FLAIR MR image.
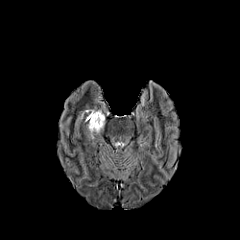
T1-weighted MR image.
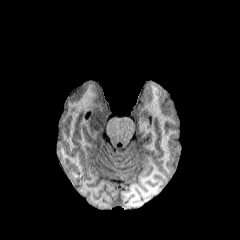
Post-contrast T1-weighted MR image.
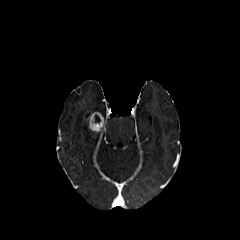
T2-weighted MRI.
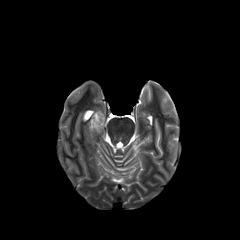
240x240 px | Axial view
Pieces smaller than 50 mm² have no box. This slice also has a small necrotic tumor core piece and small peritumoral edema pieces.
enhancing_tumor:
  - {"x1": 87, "y1": 112, "x2": 104, "y2": 132}